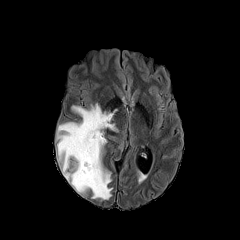
FLAIR magnetic resonance.
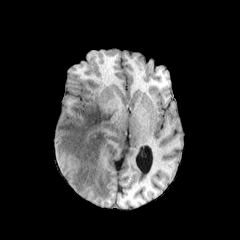
T1-weighted MR image.
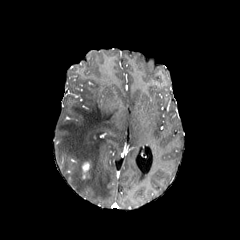
Same slice, post-contrast T1-weighted MRI.
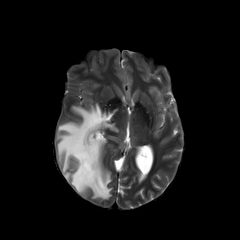
T2-weighted magnetic resonance.
Brain
enhancing tumor: (x1=82, y1=162, x2=89, y2=178)
peritumoral edema: (x1=57, y1=103, x2=117, y2=199)